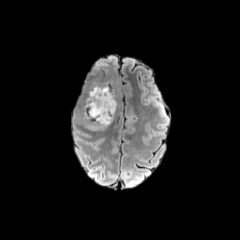
FLAIR MR image.
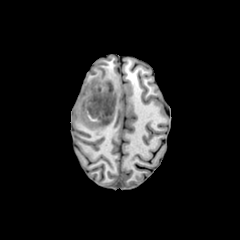
T1-weighted MR image of the same slice.
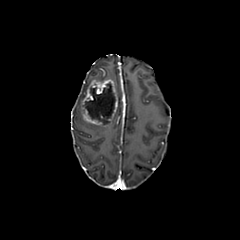
Post-contrast T1-weighted MRI.
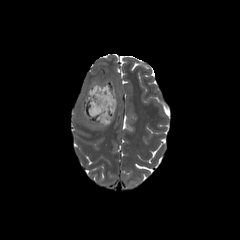
T2-weighted MR image.
Head
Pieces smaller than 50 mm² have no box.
<segmentation>
  <necrotic_tumor_core>bbox(85, 83, 115, 124)</necrotic_tumor_core>
  <peritumoral_edema>bbox(88, 124, 106, 131)</peritumoral_edema>
  <enhancing_tumor>bbox(81, 79, 117, 126)</enhancing_tumor>
</segmentation>